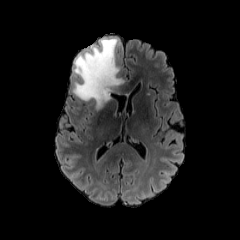
FLAIR MR image.
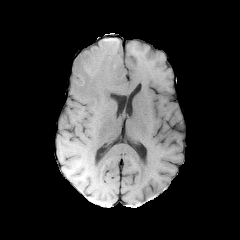
Same slice, T1-weighted MR image.
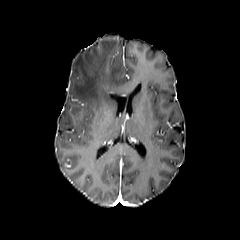
Post-contrast T1-weighted MRI.
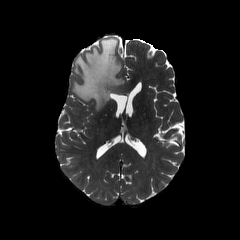
T2-weighted MRI.
Brain | Axial plane
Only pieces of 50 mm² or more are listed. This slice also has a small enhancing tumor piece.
peritumoral edema: 72,38,129,110